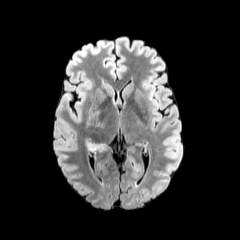
FLAIR MR image.
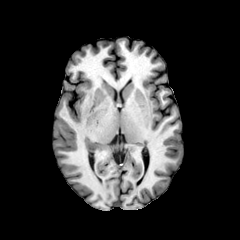
T1-weighted MRI of the same slice.
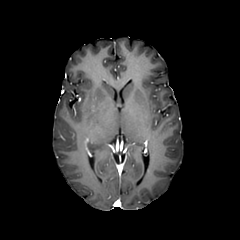
Same slice, post-contrast T1-weighted MRI.
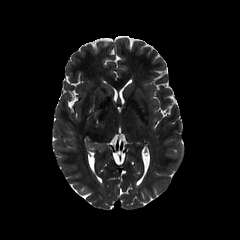
T2-weighted magnetic resonance.
Head | 240x240 px
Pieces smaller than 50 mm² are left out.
peritumoral edema — (left=85, top=140, right=107, bottom=151)